FLAIR magnetic resonance.
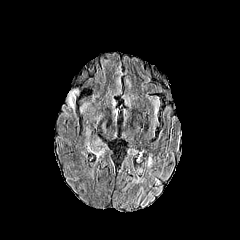
T1-weighted MRI.
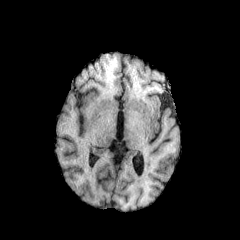
Post-contrast T1-weighted magnetic resonance.
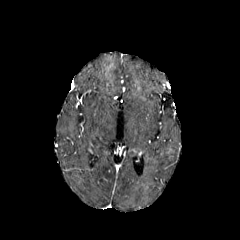
T2-weighted MRI.
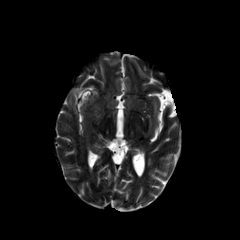
peritumoral edema at {"x1": 86, "y1": 125, "x2": 108, "y2": 156}, {"x1": 66, "y1": 88, "x2": 79, "y2": 124}, {"x1": 80, "y1": 95, "x2": 92, "y2": 112}